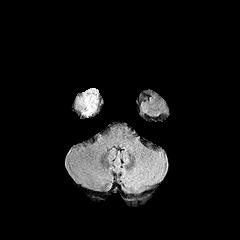
FLAIR MRI.
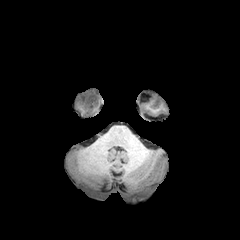
T1-weighted MR image.
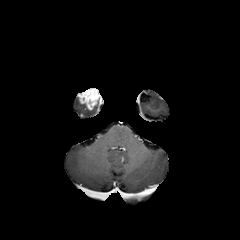
Post-contrast T1-weighted MRI of the same slice.
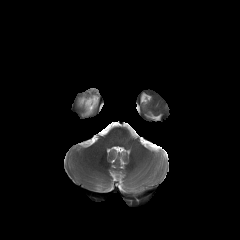
Same slice, T2-weighted MR image.
Axial plane
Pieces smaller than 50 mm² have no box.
The largest peritumoral edema region is at <box>83,106,96,115</box>. The enhancing tumor lies within <box>78,88,100,110</box>.